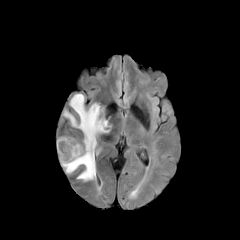
FLAIR MRI.
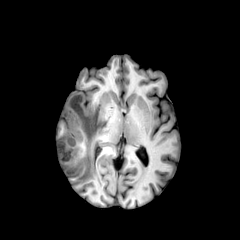
Same slice, T1-weighted magnetic resonance.
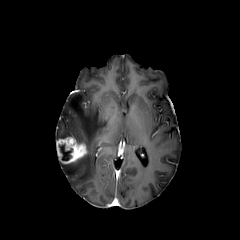
Post-contrast T1-weighted MR.
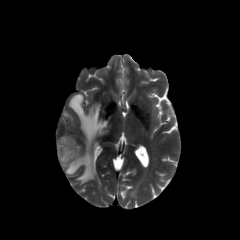
Same slice, T2-weighted MR image.
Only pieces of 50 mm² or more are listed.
The largest necrotic tumor core region is bounded by [x1=59, y1=144, x2=72, y2=160]. The largest peritumoral edema region is located at [x1=62, y1=94, x2=109, y2=181]. The enhancing tumor is bounded by [x1=56, y1=136, x2=87, y2=163].